Axial plane, 240x240 px, Brain
FLAIR MRI.
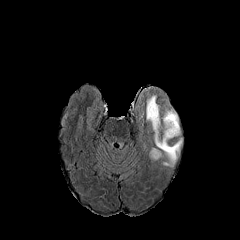
T1-weighted MRI.
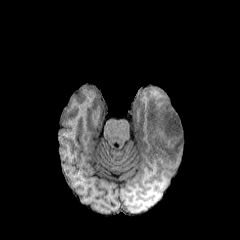
Post-contrast T1-weighted magnetic resonance.
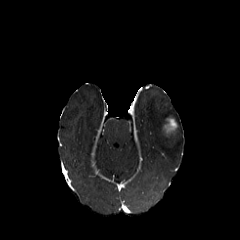
T2-weighted MRI.
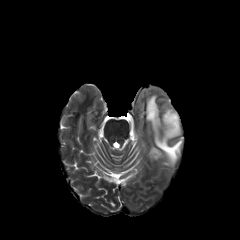
enhancing_tumor:
  - region(163, 117, 177, 136)
peritumoral_edema:
  - region(150, 148, 160, 159)
  - region(146, 95, 182, 166)